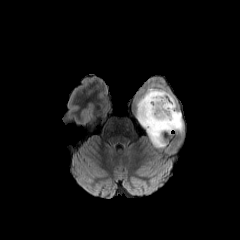
FLAIR MR.
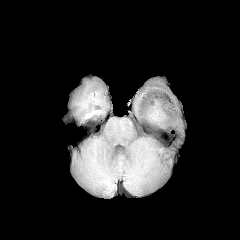
T1-weighted MR.
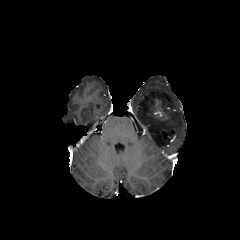
Post-contrast T1-weighted MR image of the same slice.
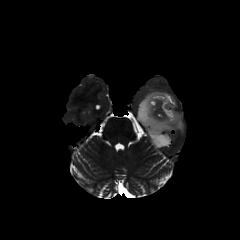
T2-weighted magnetic resonance.
240x240 px. Head. Axial view.
{"peritumoral_edema": ["bbox(137, 84, 183, 147)"], "enhancing_tumor": ["bbox(146, 98, 171, 122)"]}